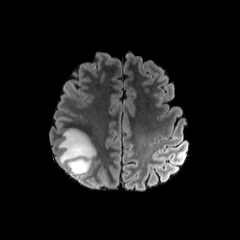
FLAIR magnetic resonance.
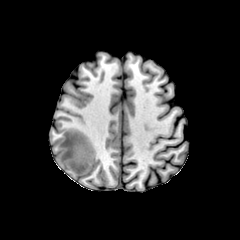
T1-weighted magnetic resonance of the same slice.
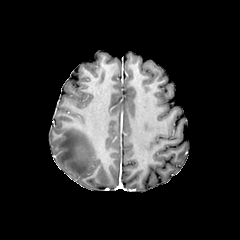
Same slice, post-contrast T1-weighted MR image.
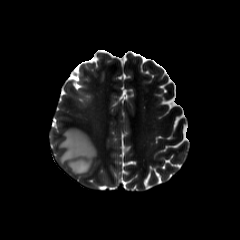
T2-weighted MR.
240x240.
Segmented structures:
- peritumoral edema: bbox(58, 128, 96, 176)